FLAIR MR image.
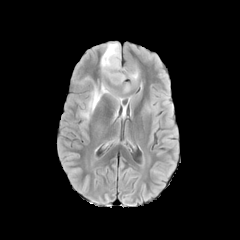
T1-weighted MR image.
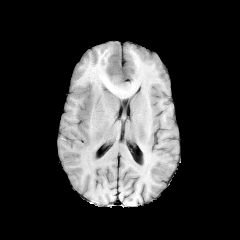
Post-contrast T1-weighted magnetic resonance.
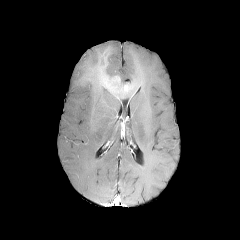
T2-weighted magnetic resonance.
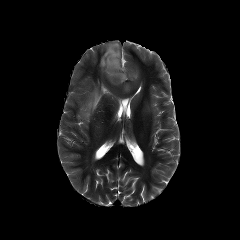
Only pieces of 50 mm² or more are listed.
peritumoral edema: (left=80, top=76, right=122, bottom=137), (left=143, top=103, right=150, bottom=113), (left=100, top=42, right=139, bottom=92)
enhancing tumor: (left=109, top=75, right=120, bottom=84)